Slice index 128 | Axial view | Image width 240 mm | Head
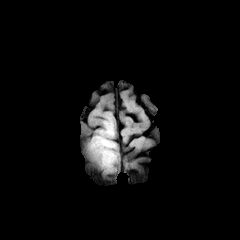
FLAIR MR.
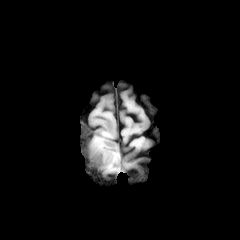
Same slice, T1-weighted MRI.
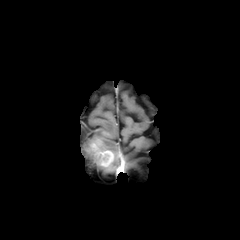
Same slice, post-contrast T1-weighted MRI.
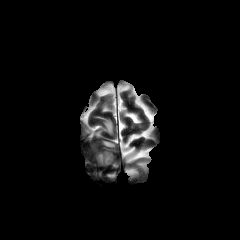
T2-weighted magnetic resonance.
The peritumoral edema lies within (x1=92, y1=118, x2=116, y2=160). The enhancing tumor is at (x1=88, y1=142, x2=113, y2=166).